Head
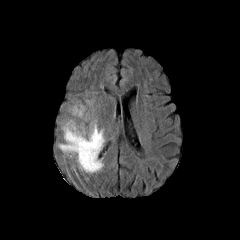
FLAIR MRI.
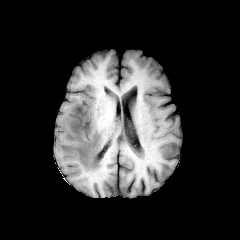
T1-weighted MR image.
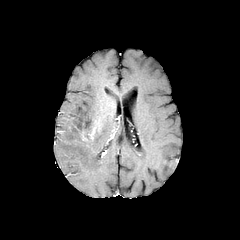
Post-contrast T1-weighted MRI.
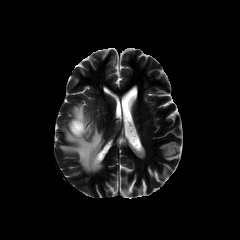
Same slice, T2-weighted MR.
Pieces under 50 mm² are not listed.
Segmented structures:
• peritumoral edema: 59:104:104:173
• enhancing tumor: 72:123:86:140
• necrotic tumor core: 73:116:85:130